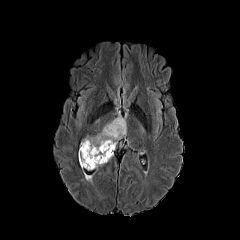
FLAIR MR.
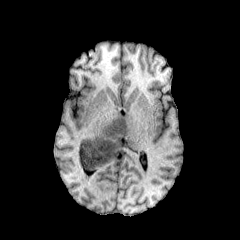
Same slice, T1-weighted magnetic resonance.
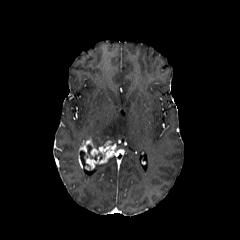
Post-contrast T1-weighted MRI.
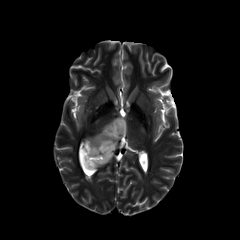
T2-weighted MR of the same slice.
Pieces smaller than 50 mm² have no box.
The largest peritumoral edema region lies within (91,113,126,143). The 2 largest necrotic tumor core regions appear at (93,137,105,149), (79,151,88,167). The largest enhancing tumor region lies within (79,137,116,170).